Brain. Axial plane. Slice index 55.
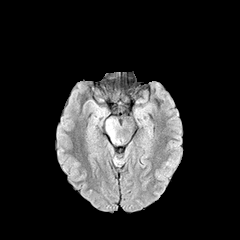
FLAIR MR.
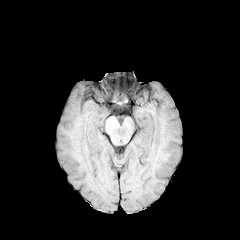
T1-weighted magnetic resonance.
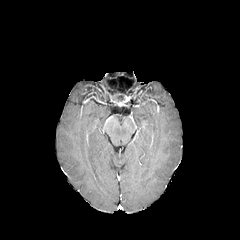
Same slice, post-contrast T1-weighted MRI.
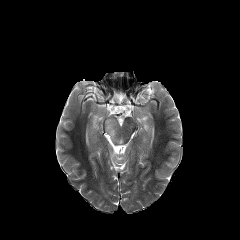
T2-weighted MR.
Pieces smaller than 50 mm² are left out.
peritumoral edema: (106,119,120,143)